Slice index 77 | Axial view | Brain
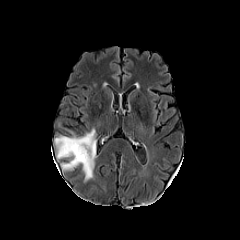
FLAIR MR.
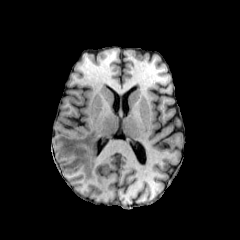
T1-weighted MR image of the same slice.
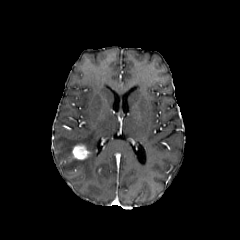
Post-contrast T1-weighted magnetic resonance of the same slice.
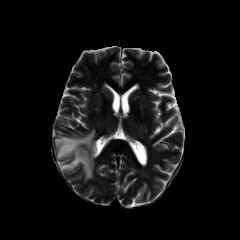
Same slice, T2-weighted MR.
enhancing tumor = left=72, top=144, right=89, bottom=159
peritumoral edema = left=54, top=129, right=96, bottom=181